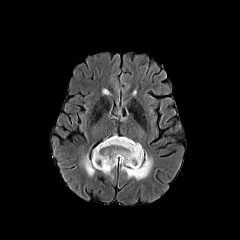
FLAIR MR image.
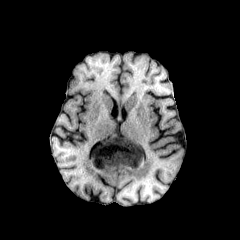
T1-weighted MR image of the same slice.
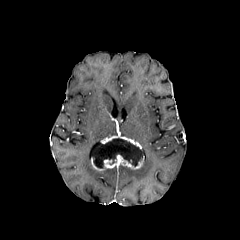
Post-contrast T1-weighted MR.
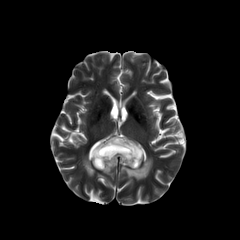
T2-weighted magnetic resonance.
Axial slice
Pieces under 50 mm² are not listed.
peritumoral edema = bbox(120, 157, 152, 179); bbox(102, 169, 113, 178); bbox(82, 155, 95, 176)
enhancing tumor = bbox(91, 154, 144, 170); bbox(101, 135, 142, 149)
necrotic tumor core = bbox(92, 138, 143, 168)